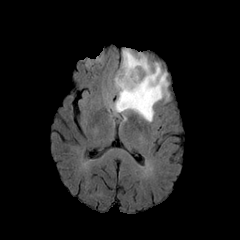
FLAIR MR.
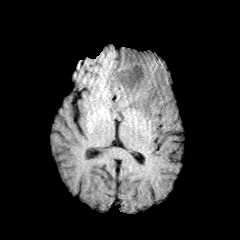
T1-weighted MRI.
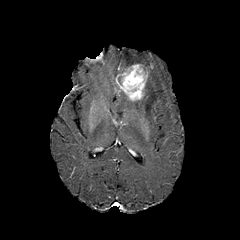
Same slice, post-contrast T1-weighted magnetic resonance.
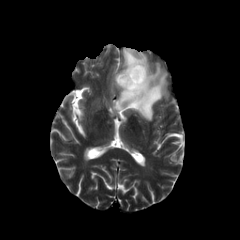
T2-weighted magnetic resonance of the same slice.
Brain, Axial slice
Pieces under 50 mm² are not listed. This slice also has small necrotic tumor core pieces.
peritumoral edema: bounding box l=111, t=48, r=169, b=121
enhancing tumor: bounding box l=115, t=64, r=148, b=100